Head. Axial view. 240x240.
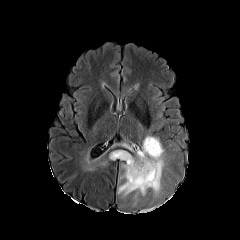
FLAIR magnetic resonance.
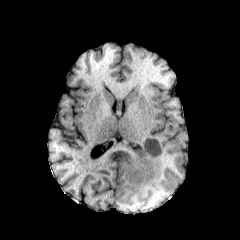
T1-weighted MR.
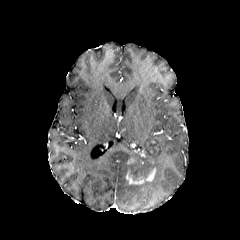
Post-contrast T1-weighted magnetic resonance.
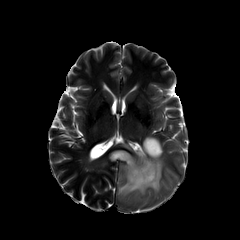
T2-weighted MRI.
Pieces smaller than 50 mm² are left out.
- necrotic tumor core: box(147, 141, 158, 153); box(128, 168, 152, 179)
- peritumoral edema: box(109, 136, 164, 197)
- enhancing tumor: box(126, 168, 155, 184)